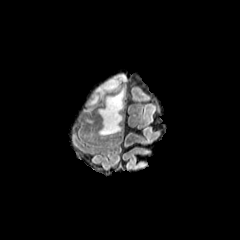
FLAIR MR.
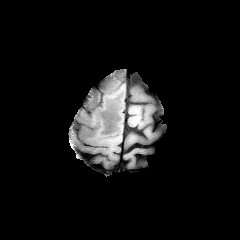
T1-weighted MRI of the same slice.
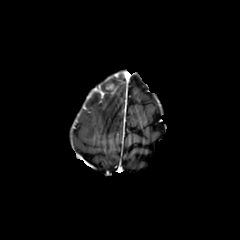
Same slice, post-contrast T1-weighted MR image.
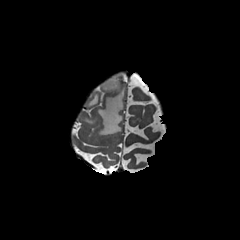
T2-weighted MRI of the same slice.
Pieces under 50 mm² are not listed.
peritumoral_edema:
  - x1=87 y1=74 x2=125 y2=135
enhancing_tumor:
  - x1=105 y1=83 x2=118 y2=93
  - x1=95 y1=86 x2=106 y2=98